Axial slice | Brain
FLAIR MR.
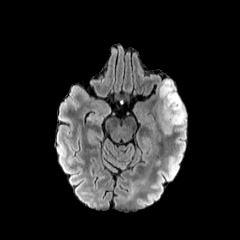
T1-weighted MRI.
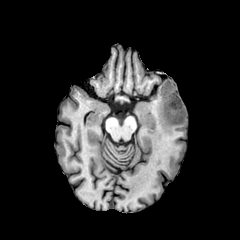
Post-contrast T1-weighted magnetic resonance.
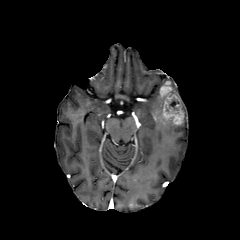
T2-weighted MR.
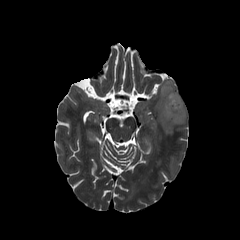
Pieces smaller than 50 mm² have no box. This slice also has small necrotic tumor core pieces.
peritumoral edema: bounding box box(178, 102, 186, 125); box(156, 93, 175, 133)
enhancing tumor: bounding box box(159, 80, 184, 125)